Image covers 240 mm x 240 mm; Axial plane
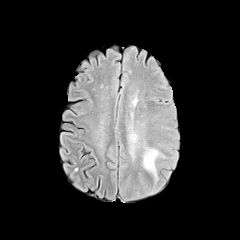
FLAIR MR image.
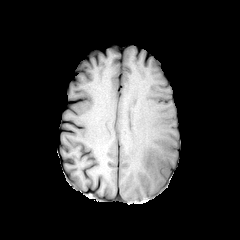
T1-weighted MR image of the same slice.
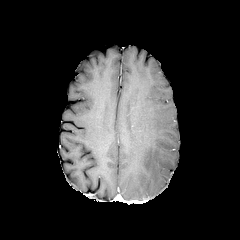
Post-contrast T1-weighted MR.
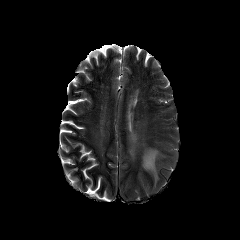
T2-weighted MR.
peritumoral edema: (x1=127, y1=133, x2=164, y2=180)